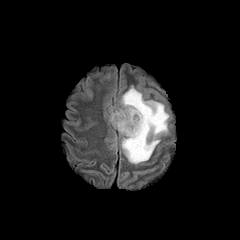
FLAIR MRI.
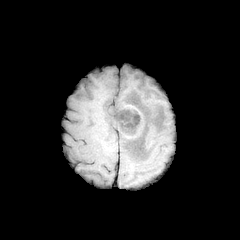
T1-weighted magnetic resonance of the same slice.
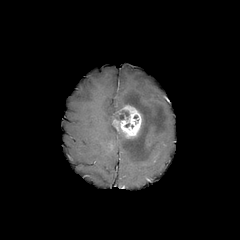
Post-contrast T1-weighted magnetic resonance of the same slice.
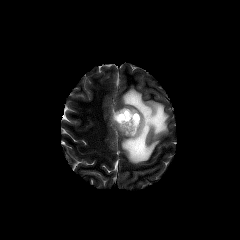
T2-weighted MR image.
240x240 px | Axial plane
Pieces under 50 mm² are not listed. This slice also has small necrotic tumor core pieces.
Findings:
- peritumoral edema: {"x1": 110, "y1": 86, "x2": 169, "y2": 164}
- enhancing tumor: {"x1": 112, "y1": 105, "x2": 141, "y2": 138}